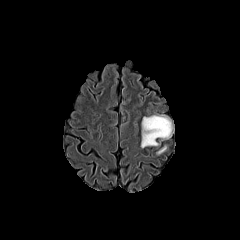
FLAIR MRI.
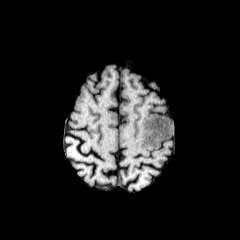
T1-weighted MRI.
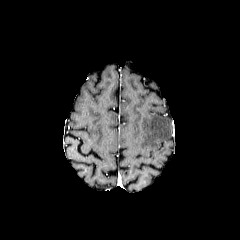
Same slice, post-contrast T1-weighted MRI.
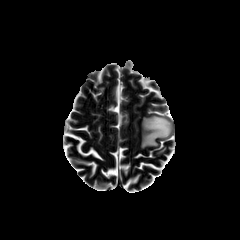
T2-weighted MR image of the same slice.
Head. Axial slice.
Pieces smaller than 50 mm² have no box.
peritumoral_edema:
  - box(141, 115, 172, 147)